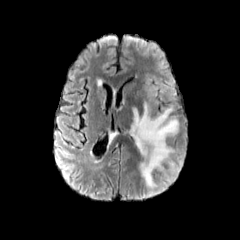
FLAIR MR.
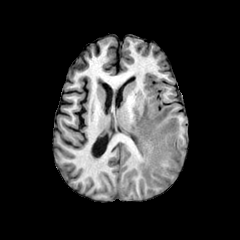
T1-weighted magnetic resonance.
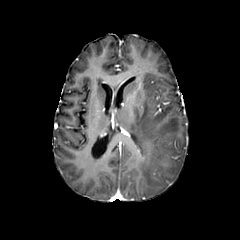
Post-contrast T1-weighted magnetic resonance.
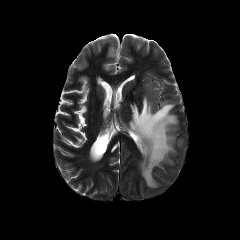
T2-weighted magnetic resonance.
Brain; Axial plane
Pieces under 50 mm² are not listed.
peritumoral edema — (130,102,178,187)